Image covers 240 mm x 240 mm. Slice index 70. Axial slice.
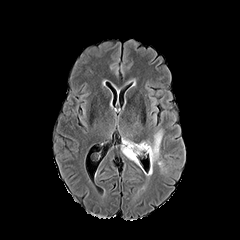
FLAIR MRI.
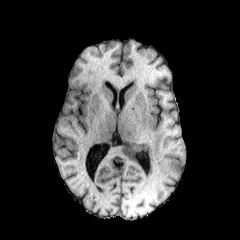
T1-weighted magnetic resonance.
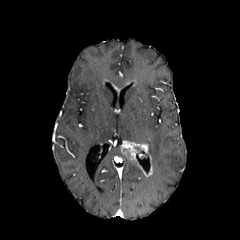
Post-contrast T1-weighted MRI.
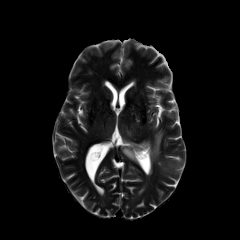
T2-weighted magnetic resonance.
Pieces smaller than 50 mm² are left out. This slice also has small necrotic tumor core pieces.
The largest peritumoral edema region is located at 141,130,163,163. The enhancing tumor lies within 121,140,148,162.